Slice 115/155. 240x240.
FLAIR MR image.
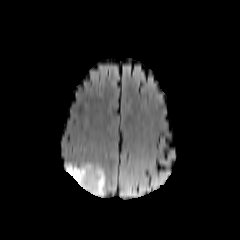
T1-weighted magnetic resonance.
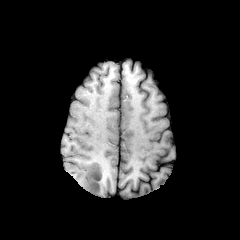
Post-contrast T1-weighted MR.
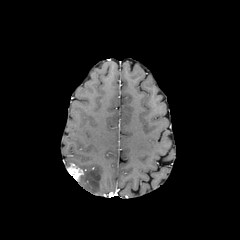
T2-weighted magnetic resonance.
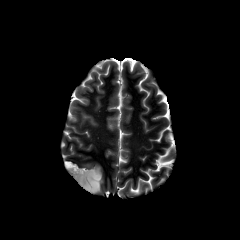
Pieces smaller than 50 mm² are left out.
Findings:
• enhancing tumor: 67, 163, 83, 181
• peritumoral edema: 78, 164, 104, 194